Slice 128 of 155
FLAIR MR image.
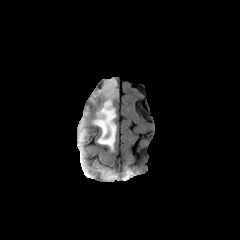
T1-weighted MR image.
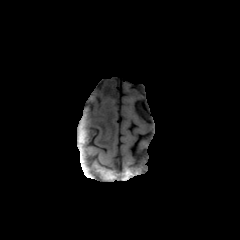
Post-contrast T1-weighted MR.
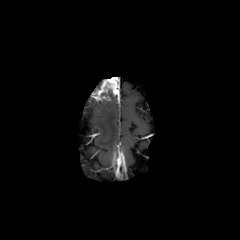
T2-weighted MRI.
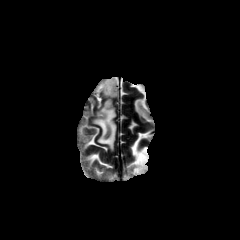
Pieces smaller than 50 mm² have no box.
peritumoral_edema:
  - x1=91 y1=97 x2=117 y2=152
enhancing_tumor:
  - x1=91 y1=77 x2=119 y2=101